FLAIR MRI.
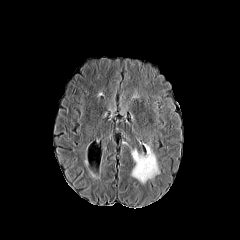
T1-weighted magnetic resonance.
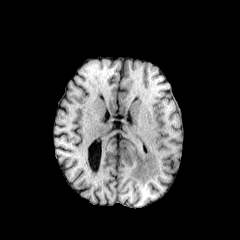
Post-contrast T1-weighted MR image.
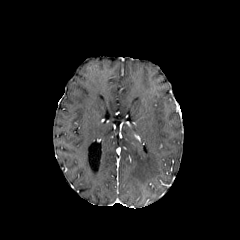
T2-weighted magnetic resonance.
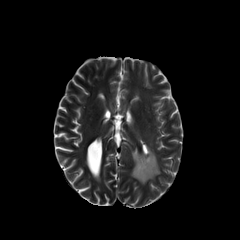
Axial plane | Head
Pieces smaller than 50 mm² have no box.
peritumoral edema — bbox(131, 145, 159, 184)